Brain | 240x240 px
FLAIR magnetic resonance.
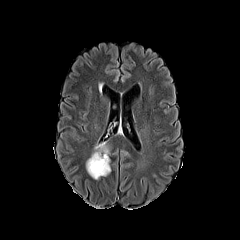
T1-weighted magnetic resonance.
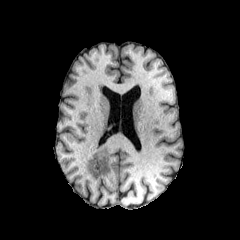
Post-contrast T1-weighted magnetic resonance.
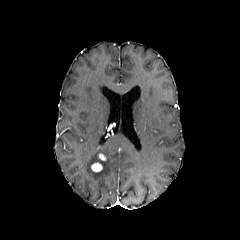
T2-weighted MR image.
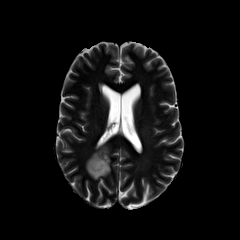
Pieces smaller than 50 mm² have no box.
Findings:
- enhancing tumor: 98,153,106,160; 91,162,102,172
- peritumoral edema: 86,142,110,179